Slice 97/155.
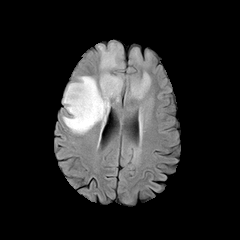
FLAIR MR image.
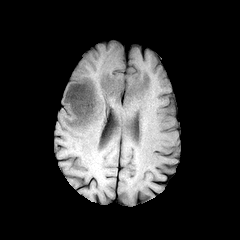
T1-weighted magnetic resonance.
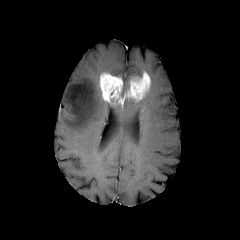
Same slice, post-contrast T1-weighted MRI.
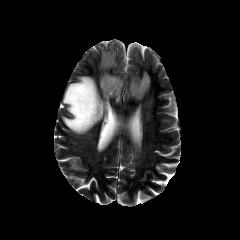
T2-weighted magnetic resonance of the same slice.
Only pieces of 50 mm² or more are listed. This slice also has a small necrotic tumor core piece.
peritumoral edema at [62,76,110,134], [99,43,121,72]
enhancing tumor at [99,72,150,102]